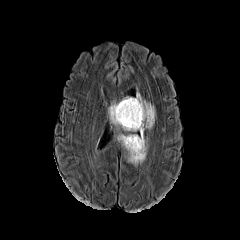
FLAIR MRI.
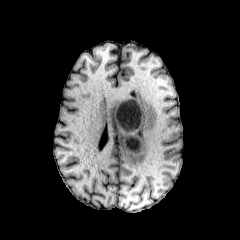
T1-weighted MRI.
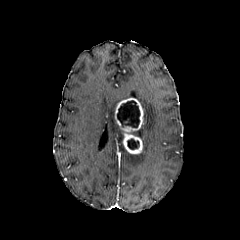
Post-contrast T1-weighted MR image.
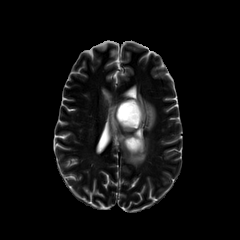
T2-weighted magnetic resonance.
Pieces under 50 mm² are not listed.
Segmented structures:
* peritumoral edema: x1=108 y1=102 x2=118 y2=126, x1=127 y1=93 x2=155 y2=166
* enhancing tumor: x1=114 y1=97 x2=143 y2=153
* necrotic tumor core: x1=127 y1=139 x2=139 y2=149, x1=117 y1=100 x2=140 y2=127